FLAIR MRI.
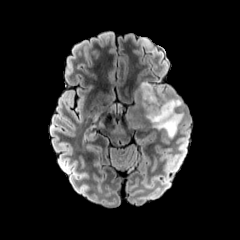
T1-weighted MR image.
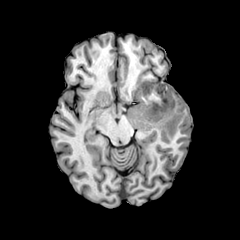
Post-contrast T1-weighted magnetic resonance.
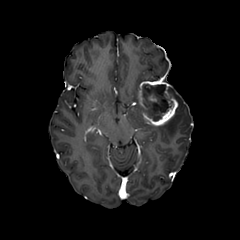
T2-weighted magnetic resonance.
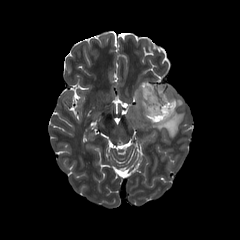
Axial plane, Brain
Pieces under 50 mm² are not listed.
enhancing tumor — bbox=[137, 79, 178, 125]
necrotic tumor core — bbox=[142, 84, 171, 121]
peritumoral edema — bbox=[152, 86, 184, 138]; bbox=[134, 89, 140, 109]